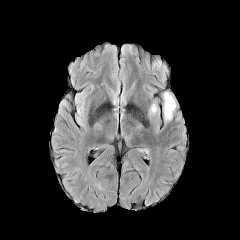
FLAIR MRI.
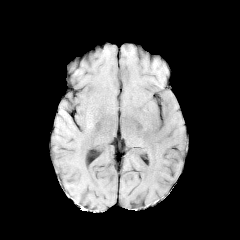
T1-weighted MR image.
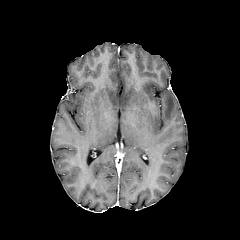
Post-contrast T1-weighted magnetic resonance.
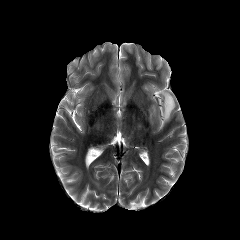
T2-weighted MRI of the same slice.
Brain | Axial plane
{"peritumoral_edema": ["(149,103,158,119)", "(163,91,176,122)"]}